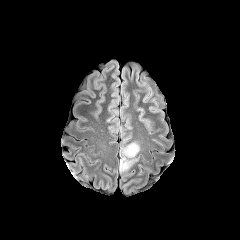
FLAIR magnetic resonance.
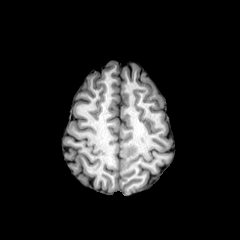
T1-weighted MR of the same slice.
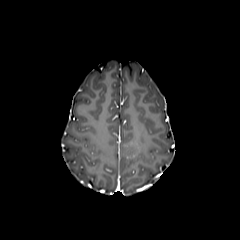
Post-contrast T1-weighted magnetic resonance of the same slice.
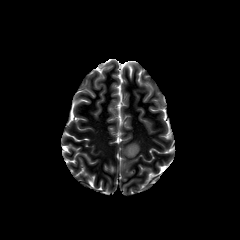
Same slice, T2-weighted MRI.
Brain
The peritumoral edema is located at [119, 137, 140, 172].